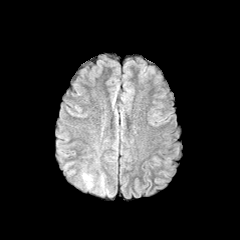
FLAIR MR.
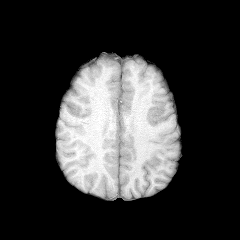
T1-weighted MR image.
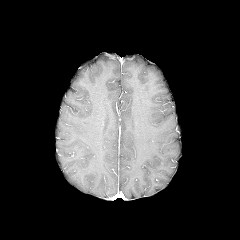
Same slice, post-contrast T1-weighted MRI.
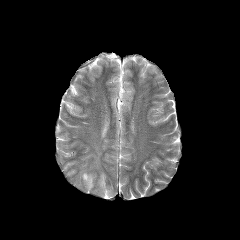
Same slice, T2-weighted MR image.
Head | Image size 240x240
Findings:
* peritumoral edema: 95 173 113 198, 81 172 93 189